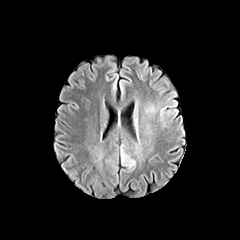
FLAIR MR.
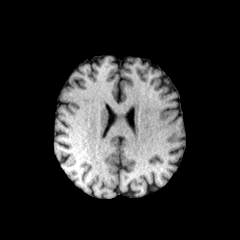
T1-weighted MR.
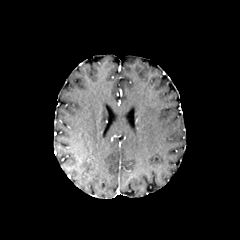
Same slice, post-contrast T1-weighted magnetic resonance.
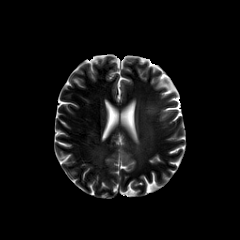
T2-weighted MR image.
Head
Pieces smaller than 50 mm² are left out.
peritumoral_edema:
  - bbox(146, 107, 155, 114)